240x240 px. Head. Slice 109 of 155.
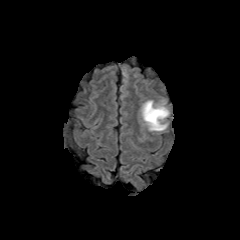
FLAIR magnetic resonance.
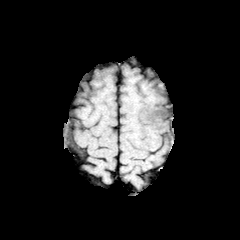
Same slice, T1-weighted MR.
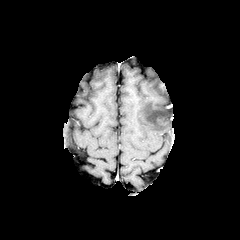
Post-contrast T1-weighted magnetic resonance.
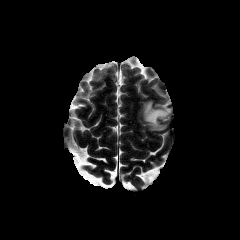
T2-weighted magnetic resonance.
<segmentation>
  <peritumoral_edema>(x1=141, y1=100, x2=169, y2=131)</peritumoral_edema>
</segmentation>